Slice index 117 | Image size 240x240
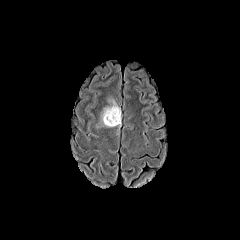
FLAIR MR image.
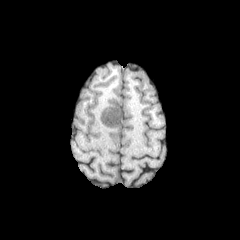
T1-weighted MR.
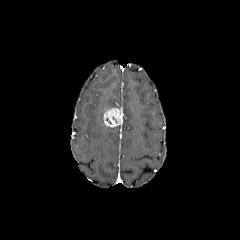
Post-contrast T1-weighted MR image.
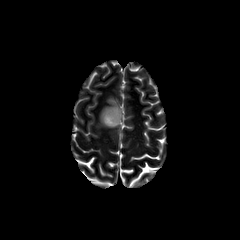
T2-weighted MRI.
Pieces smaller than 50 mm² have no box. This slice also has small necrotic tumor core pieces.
The largest peritumoral edema region appears at 100,99,118,125. The enhancing tumor is at 103,108,122,127.